Axial view, Brain
FLAIR MR image.
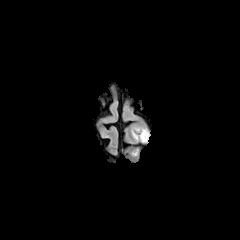
T1-weighted MR image.
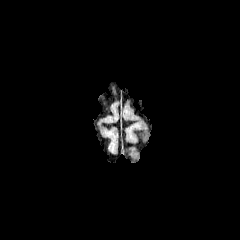
Post-contrast T1-weighted MR image.
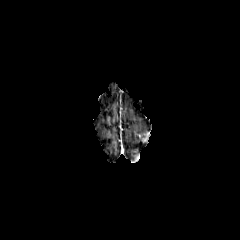
T2-weighted magnetic resonance.
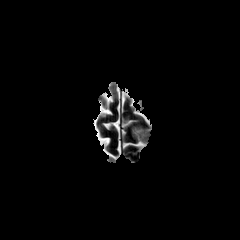
peritumoral edema = 131,126,147,141
enhancing tumor = 134,131,150,142